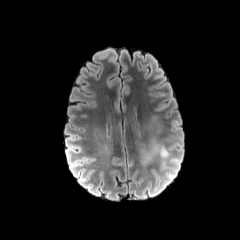
FLAIR MRI.
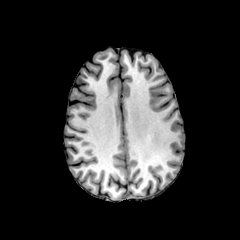
Same slice, T1-weighted MR image.
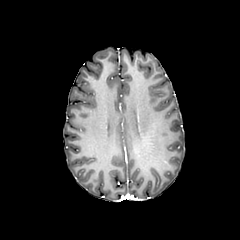
Post-contrast T1-weighted MRI of the same slice.
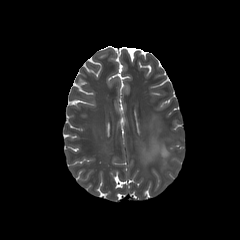
T2-weighted magnetic resonance.
240x240
Annotated regions:
- peritumoral edema: (x1=154, y1=144, x2=169, y2=158)